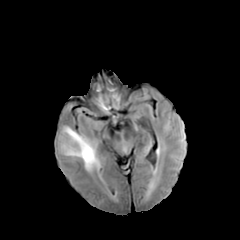
FLAIR MR.
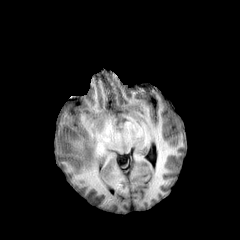
T1-weighted MR image of the same slice.
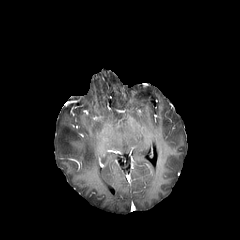
Post-contrast T1-weighted magnetic resonance.
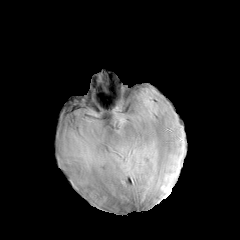
Same slice, T2-weighted magnetic resonance.
Axial slice | Head
{"peritumoral_edema": ["[63,128,99,170]"]}